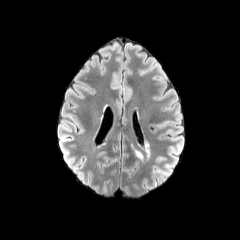
FLAIR magnetic resonance.
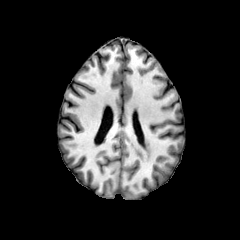
T1-weighted MR image.
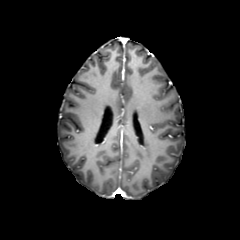
Post-contrast T1-weighted MR image.
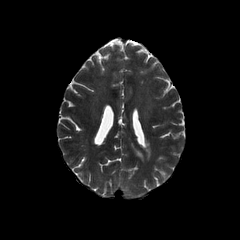
Same slice, T2-weighted MR image.
Axial slice
peritumoral_edema:
  - (left=138, top=141, right=150, bottom=159)
  - (left=130, top=143, right=143, bottom=162)